Slice index 31; Axial plane; Brain
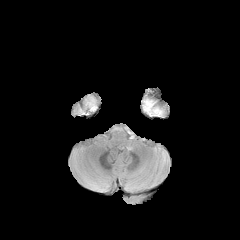
FLAIR MR image.
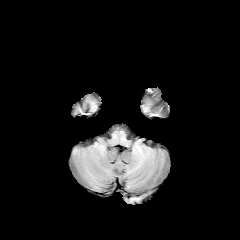
T1-weighted magnetic resonance.
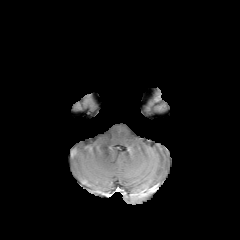
Post-contrast T1-weighted MR image of the same slice.
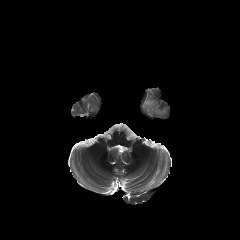
T2-weighted MR image of the same slice.
<segmentation>
  <peritumoral_edema>x1=143 y1=98 x2=163 y2=115</peritumoral_edema>
</segmentation>